FLAIR MRI.
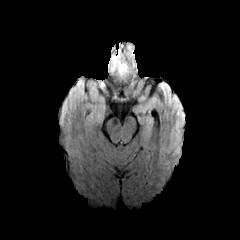
T1-weighted MR image.
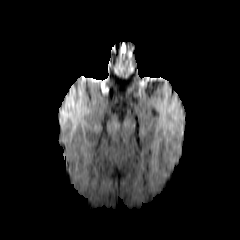
Post-contrast T1-weighted MR image.
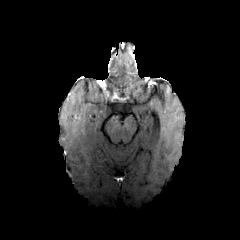
T2-weighted MR.
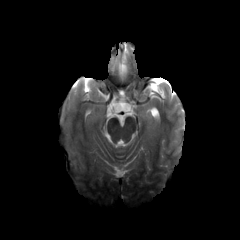
240x240 px | Brain
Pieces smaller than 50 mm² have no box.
{
  "peritumoral_edema": [
    "bbox(118, 62, 125, 72)"
  ]
}